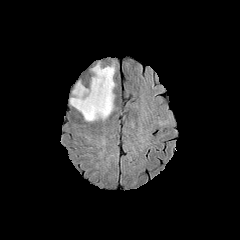
FLAIR magnetic resonance.
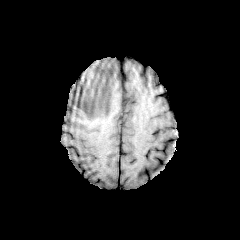
T1-weighted magnetic resonance.
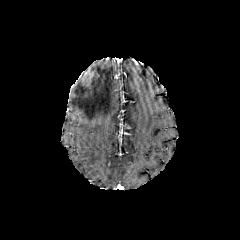
Same slice, post-contrast T1-weighted magnetic resonance.
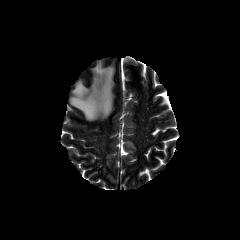
T2-weighted MR of the same slice.
Head | 240x240
The peritumoral edema is located at (70, 62, 115, 121).